FLAIR MR.
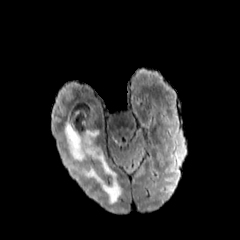
T1-weighted MR image.
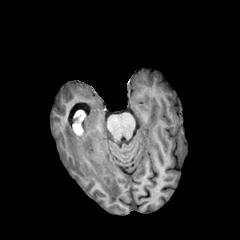
Post-contrast T1-weighted MRI.
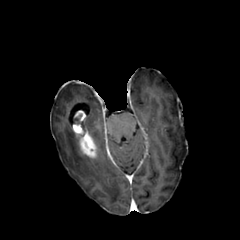
T2-weighted MR.
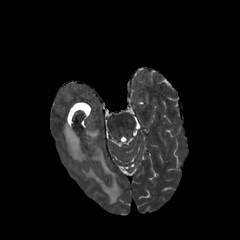
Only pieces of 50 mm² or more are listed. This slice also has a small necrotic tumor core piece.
Annotated regions:
• peritumoral edema: rect(87, 129, 99, 140); rect(64, 120, 90, 162); rect(82, 147, 121, 203)
• enhancing tumor: rect(72, 110, 97, 158)